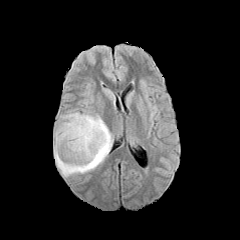
FLAIR MR image.
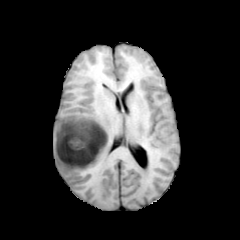
T1-weighted MR.
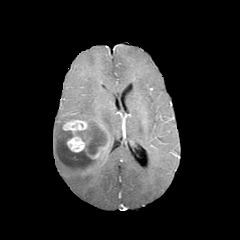
Post-contrast T1-weighted MR image of the same slice.
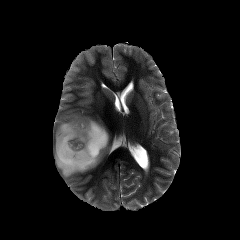
T2-weighted MR image of the same slice.
Image size 240x240
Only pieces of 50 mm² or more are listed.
<segmentation>
  <necrotic_tumor_core>[77, 121, 107, 155]</necrotic_tumor_core>
  <peritumoral_edema>[53, 112, 112, 177]</peritumoral_edema>
  <enhancing_tumor>[62, 120, 107, 158]</enhancing_tumor>
</segmentation>